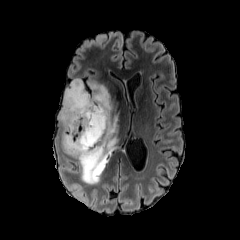
FLAIR magnetic resonance.
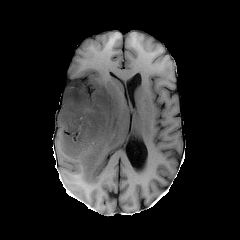
T1-weighted MR image.
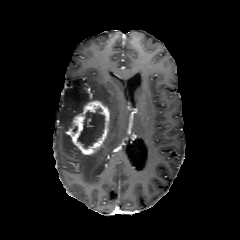
Post-contrast T1-weighted MR image of the same slice.
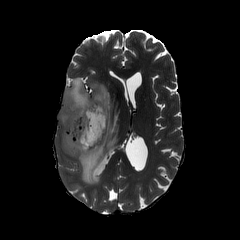
Same slice, T2-weighted magnetic resonance.
Brain
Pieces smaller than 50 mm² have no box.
The largest necrotic tumor core region is at left=78, top=109, right=104, bottom=148. The largest enhancing tumor region is bounded by left=67, top=100, right=109, bottom=155. The peritumoral edema is at left=58, top=79, right=118, bottom=184.